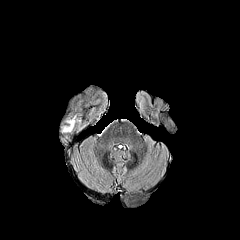
FLAIR MR image.
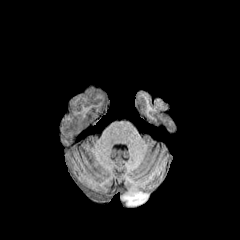
T1-weighted magnetic resonance.
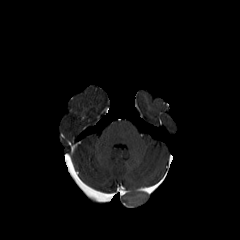
Same slice, post-contrast T1-weighted MR image.
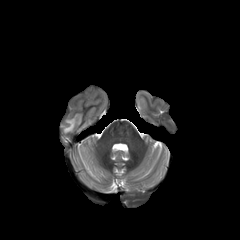
T2-weighted MR image.
Axial slice
{"peritumoral_edema": ["[63, 117, 75, 132]"]}